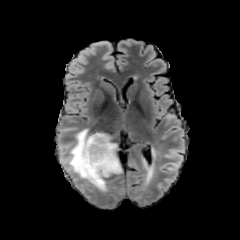
FLAIR MR.
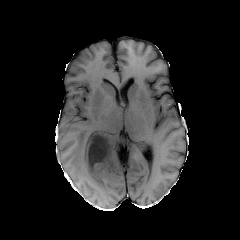
T1-weighted MR image of the same slice.
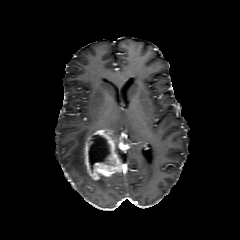
Post-contrast T1-weighted MR image.
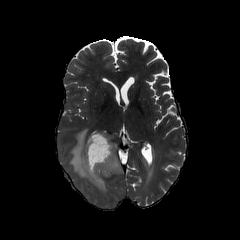
T2-weighted MR.
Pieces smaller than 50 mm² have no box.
{
  "necrotic_tumor_core": [
    {"x1": 88, "y1": 135, "x2": 109, "y2": 172}
  ],
  "peritumoral_edema": [
    {"x1": 67, "y1": 129, "x2": 109, "y2": 190}
  ],
  "enhancing_tumor": [
    {"x1": 84, "y1": 129, "x2": 123, "y2": 180}
  ]
}